FLAIR magnetic resonance.
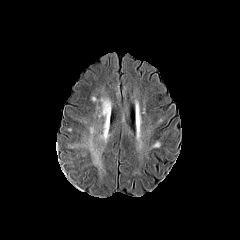
T1-weighted MR image.
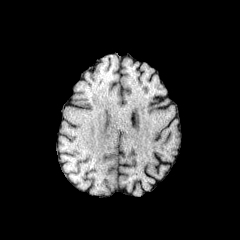
Post-contrast T1-weighted MR.
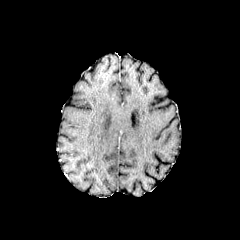
T2-weighted MR.
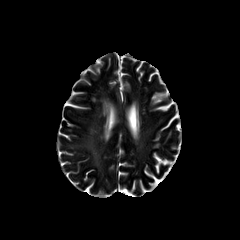
Image size 240x240, Brain
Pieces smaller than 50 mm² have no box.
peritumoral_edema:
  - l=89, t=140, r=100, b=166
  - l=99, t=99, r=110, b=116